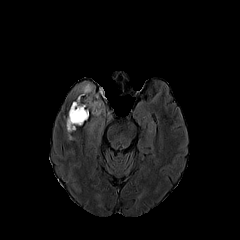
FLAIR MRI.
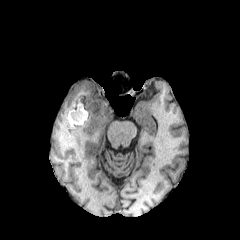
T1-weighted MR.
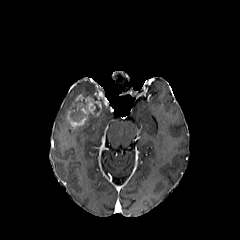
Post-contrast T1-weighted MR image of the same slice.
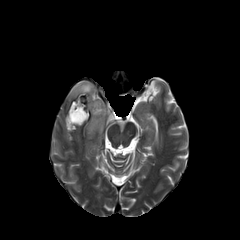
T2-weighted magnetic resonance of the same slice.
Brain
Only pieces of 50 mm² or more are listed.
peritumoral edema — bbox(65, 117, 75, 139); bbox(73, 81, 111, 132)
enhancing tumor — bbox(67, 94, 101, 128)
necrotic tumor core — bbox(70, 99, 87, 121)